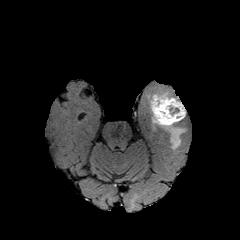
FLAIR MR image.
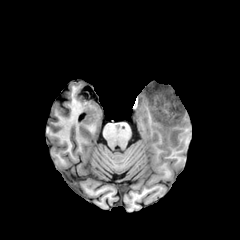
T1-weighted MR image.
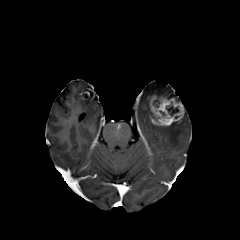
Same slice, post-contrast T1-weighted MRI.
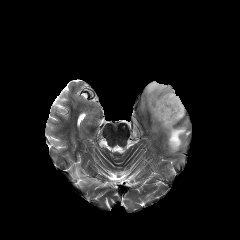
T2-weighted magnetic resonance.
Head
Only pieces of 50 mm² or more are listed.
enhancing tumor at rect(149, 95, 184, 125)
peritumoral edema at rect(161, 122, 185, 150); rect(148, 85, 180, 101)
necrotic tumor core at rect(166, 105, 179, 115)